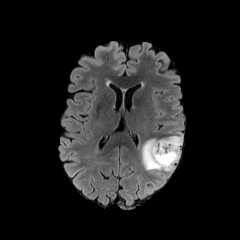
FLAIR MR image.
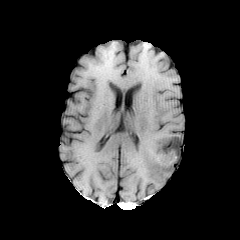
T1-weighted magnetic resonance of the same slice.
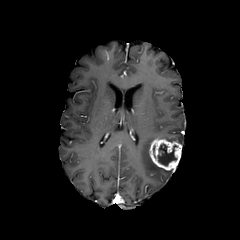
Post-contrast T1-weighted MRI.
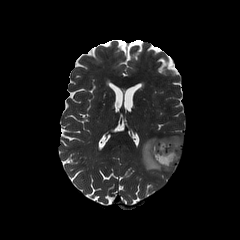
Same slice, T2-weighted MRI.
Head, Image size 240x240
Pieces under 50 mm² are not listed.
necrotic_tumor_core:
  - 158:144:177:165
enhancing_tumor:
  - 149:139:181:170
peritumoral_edema:
  - 141:134:182:176